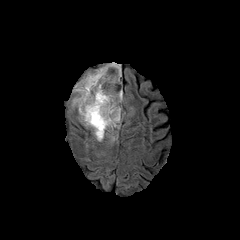
FLAIR MR image.
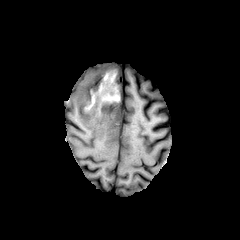
T1-weighted MR image.
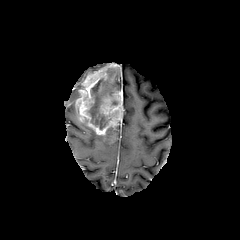
Post-contrast T1-weighted MR image of the same slice.
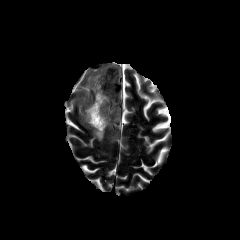
T2-weighted MRI of the same slice.
Brain
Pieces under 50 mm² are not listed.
The largest enhancing tumor region is located at [75,63,123,135]. The 2 largest peritumoral edema regions are located at [71,80,82,108], [93,130,104,141]. The largest necrotic tumor core region appears at [88,68,120,129].